Axial view; Slice 103/155
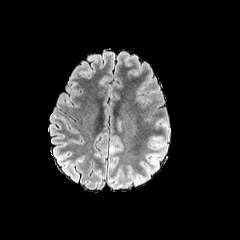
FLAIR magnetic resonance.
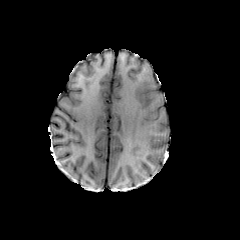
T1-weighted MR.
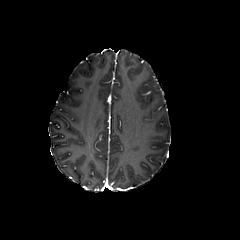
Post-contrast T1-weighted MRI.
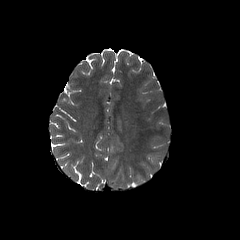
Same slice, T2-weighted magnetic resonance.
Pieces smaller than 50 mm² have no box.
peritumoral edema: l=150, t=158, r=157, b=169